FLAIR MR image.
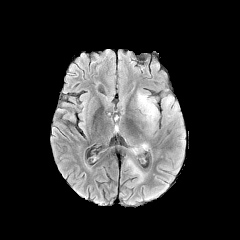
T1-weighted MR image.
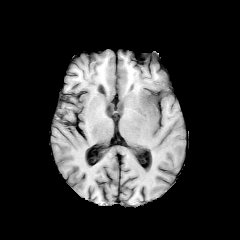
Post-contrast T1-weighted MR.
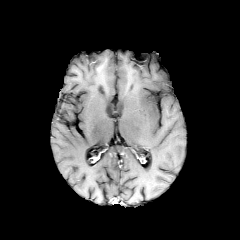
T2-weighted MR image.
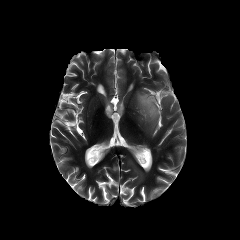
Brain, 240x240
peritumoral edema: <bbox>136, 92, 159, 134</bbox>